Image width 240 mm, Axial plane, Slice index 48
FLAIR MR image.
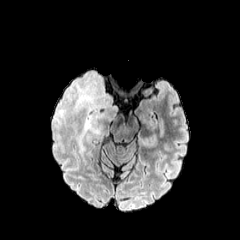
T1-weighted magnetic resonance.
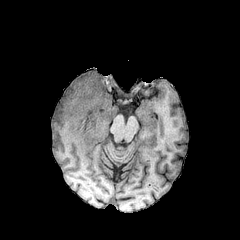
Post-contrast T1-weighted magnetic resonance.
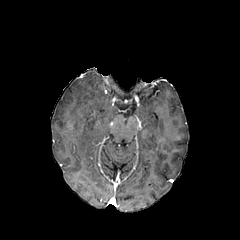
T2-weighted MRI.
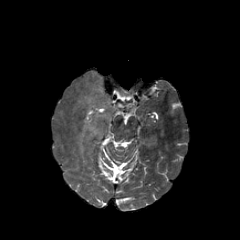
The peritumoral edema appears at [53, 70, 118, 152].